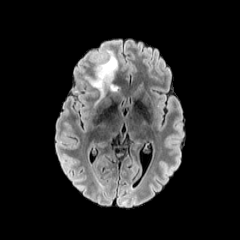
FLAIR MRI.
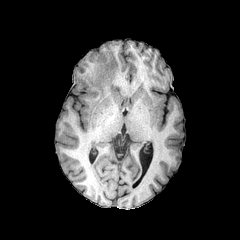
Same slice, T1-weighted MRI.
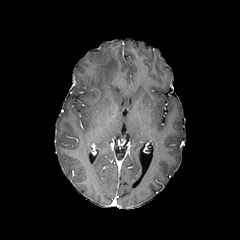
Post-contrast T1-weighted magnetic resonance of the same slice.
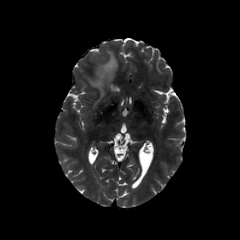
T2-weighted MRI.
240x240
peritumoral edema: box(86, 50, 117, 105)